Slice index 29; Image size 240x240
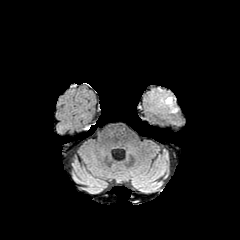
FLAIR MR.
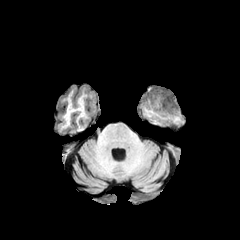
T1-weighted MR image.
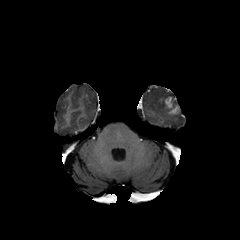
Same slice, post-contrast T1-weighted MR.
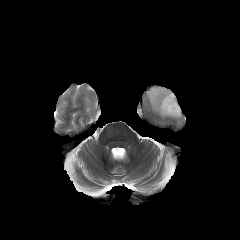
T2-weighted MRI.
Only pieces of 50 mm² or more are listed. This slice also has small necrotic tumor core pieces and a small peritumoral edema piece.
enhancing tumor: region(165, 97, 178, 113)